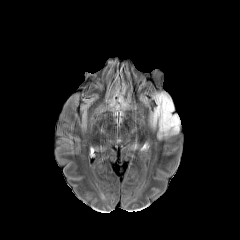
FLAIR MRI.
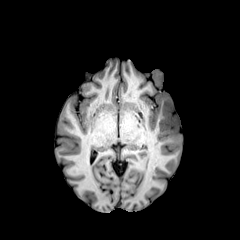
T1-weighted MR image.
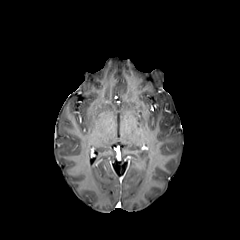
Post-contrast T1-weighted MRI.
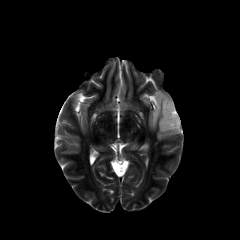
T2-weighted MRI.
240x240.
peritumoral_edema:
  - (x1=153, y1=93, x2=180, y2=138)